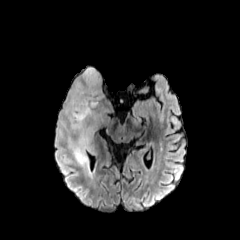
FLAIR MR.
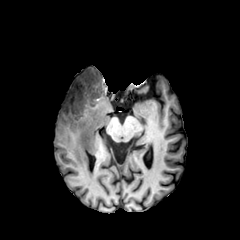
T1-weighted magnetic resonance.
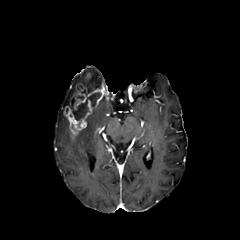
Post-contrast T1-weighted MRI.
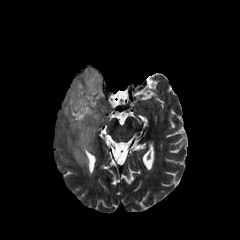
T2-weighted magnetic resonance.
Image size 240x240.
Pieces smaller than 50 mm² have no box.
necrotic tumor core: (left=70, top=92, right=101, bottom=120)
enhancing tumor: (left=63, top=82, right=104, bottom=137), (left=84, top=72, right=91, bottom=82)
peritumoral edema: (left=57, top=67, right=101, bottom=167)